Head; 240x240; Image width 240 mm
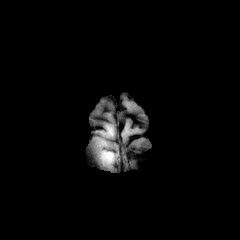
FLAIR MRI.
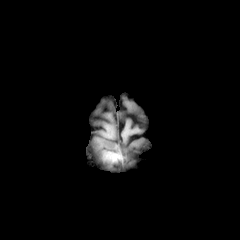
T1-weighted MRI.
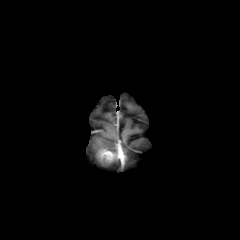
Post-contrast T1-weighted MR.
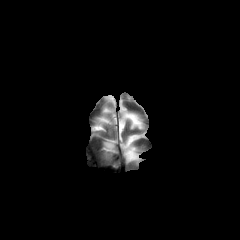
Same slice, T2-weighted MR.
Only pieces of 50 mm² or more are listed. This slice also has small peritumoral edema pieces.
enhancing tumor: 100, 150, 113, 160